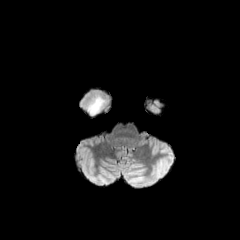
FLAIR MR image.
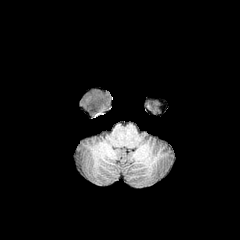
Same slice, T1-weighted MRI.
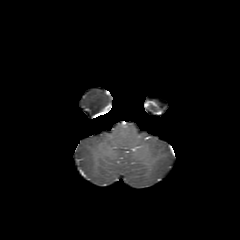
Post-contrast T1-weighted MR of the same slice.
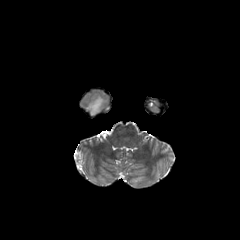
Same slice, T2-weighted MRI.
The peritumoral edema is located at bbox(87, 96, 106, 115).